FLAIR magnetic resonance.
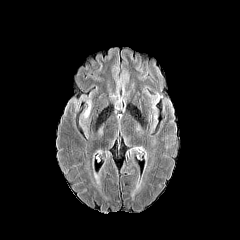
T1-weighted MR.
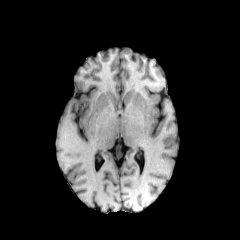
Post-contrast T1-weighted MR image.
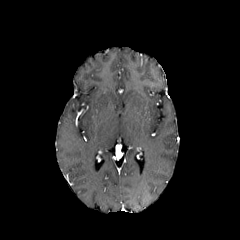
T2-weighted MR.
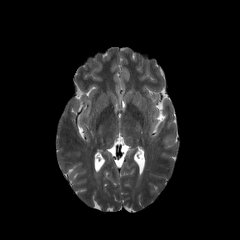
Brain. Axial plane.
{
  "peritumoral_edema": [
    "region(71, 96, 91, 118)"
  ]
}